Head | Axial view | Slice index 102
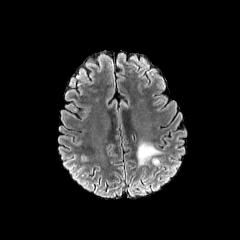
FLAIR magnetic resonance.
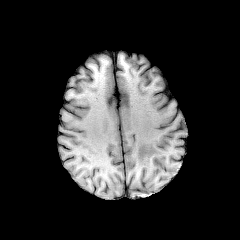
T1-weighted MR.
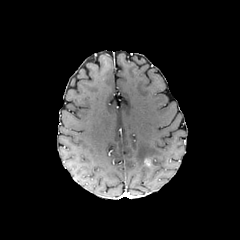
Post-contrast T1-weighted MR.
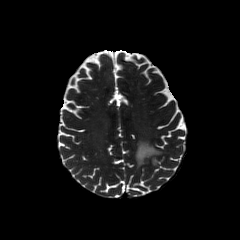
Same slice, T2-weighted MR.
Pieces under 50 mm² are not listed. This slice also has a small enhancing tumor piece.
Annotated regions:
• peritumoral edema: <bbox>137, 142, 161, 165</bbox>